FLAIR MR.
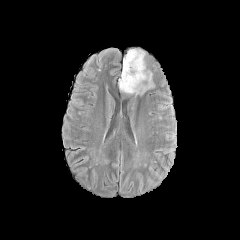
T1-weighted MRI.
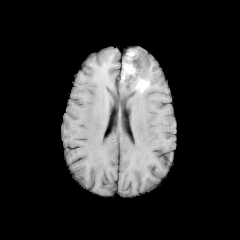
Post-contrast T1-weighted MR.
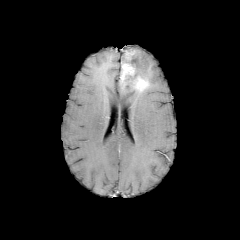
T2-weighted MRI.
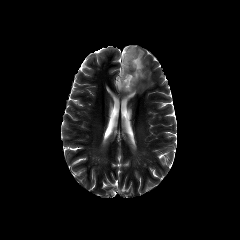
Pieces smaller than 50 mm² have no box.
<segmentation>
  <peritumoral_edema>128:49:151:87, 118:83:140:94</peritumoral_edema>
  <enhancing_tumor>125:51:134:59, 120:63:148:91</enhancing_tumor>
  <necrotic_tumor_core>123:54:145:82</necrotic_tumor_core>
</segmentation>